Slice 113 of 155
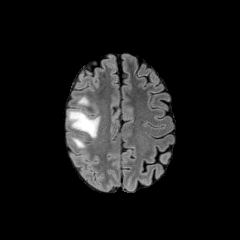
FLAIR MR image.
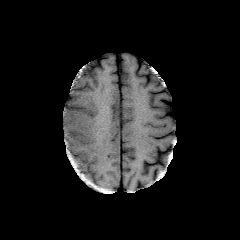
T1-weighted MR image.
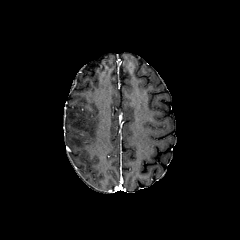
Post-contrast T1-weighted magnetic resonance of the same slice.
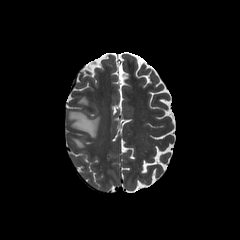
Same slice, T2-weighted magnetic resonance.
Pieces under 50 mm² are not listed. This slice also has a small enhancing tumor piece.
Segmented structures:
• peritumoral edema: (x1=78, y1=96, x2=89, y2=104), (x1=70, y1=137, x2=86, y2=148), (x1=67, y1=110, x2=99, y2=138)